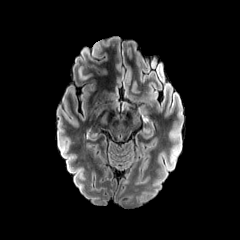
FLAIR MR image.
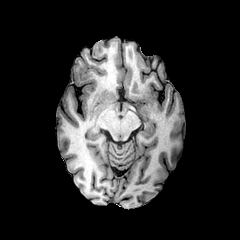
T1-weighted MR image.
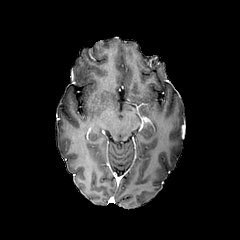
Same slice, post-contrast T1-weighted MR.
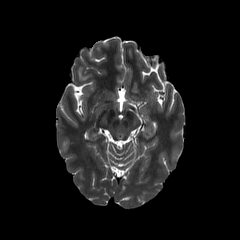
T2-weighted MR.
Head
peritumoral edema = (x1=79, y1=67, x2=88, y2=79)